FLAIR MR.
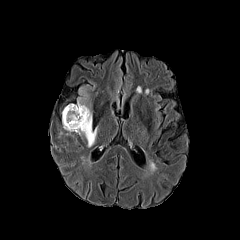
T1-weighted MR.
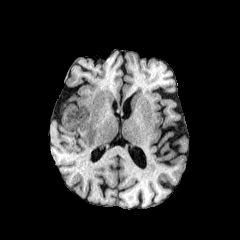
Post-contrast T1-weighted magnetic resonance.
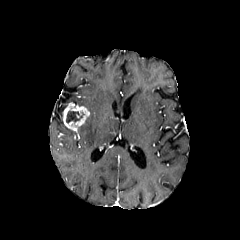
T2-weighted MR.
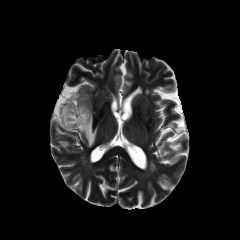
240x240 px, Head, Axial slice
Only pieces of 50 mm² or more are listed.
necrotic_tumor_core:
  - left=66, top=111, right=84, bottom=124
peritumoral_edema:
  - left=77, top=87, right=97, bottom=147
enhancing_tumor:
  - left=63, top=103, right=89, bottom=133